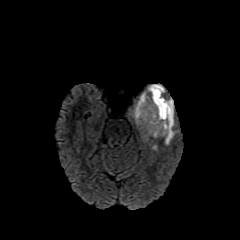
FLAIR magnetic resonance.
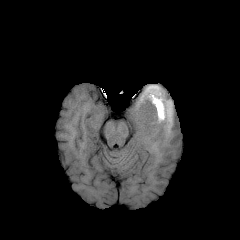
Same slice, T1-weighted MR.
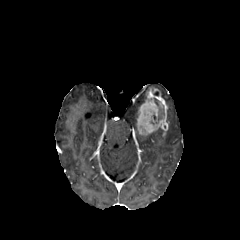
Post-contrast T1-weighted MR image.
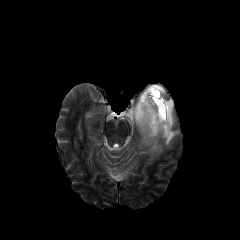
T2-weighted MR.
Axial view
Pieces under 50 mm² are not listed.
Segmented structures:
- necrotic tumor core: bbox(154, 98, 164, 119)
- peritumoral edema: bbox(141, 128, 162, 142); bbox(129, 84, 178, 145)
- enhancing tumor: bbox(136, 88, 168, 136)